Slice 40/155, Head, Axial plane, Image size 240x240
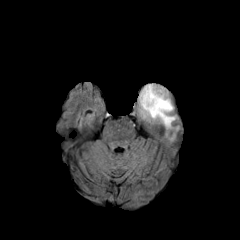
FLAIR MRI.
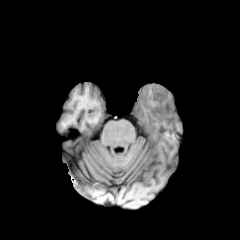
T1-weighted MRI of the same slice.
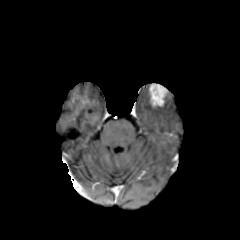
Post-contrast T1-weighted MRI.
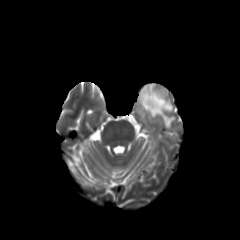
T2-weighted MRI.
peritumoral edema: <bbox>134, 84, 174, 127</bbox> | enhancing tumor: <bbox>149, 83, 168, 106</bbox>